Axial slice, Image width 240 mm, 1.00 mm slice spacing, Slice 70 of 155, Brain
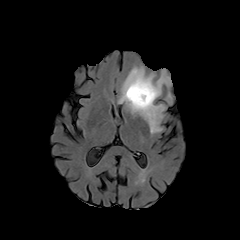
FLAIR MR.
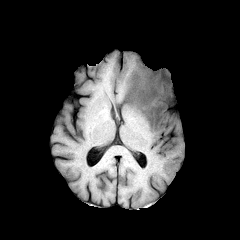
T1-weighted MR image.
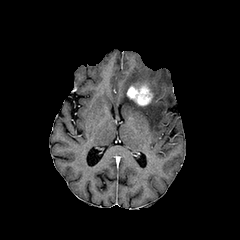
Post-contrast T1-weighted MR.
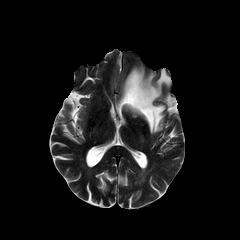
Same slice, T2-weighted magnetic resonance.
peritumoral_edema:
  - l=118, t=66, r=171, b=134
  - l=165, t=92, r=172, b=104
enhancing_tumor:
  - l=126, t=82, r=153, b=106